Image width 240 mm
FLAIR MR.
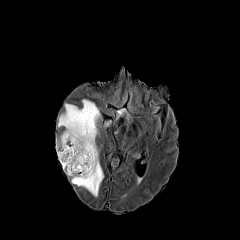
T1-weighted magnetic resonance.
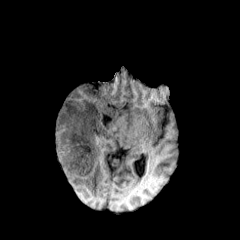
Post-contrast T1-weighted MR image.
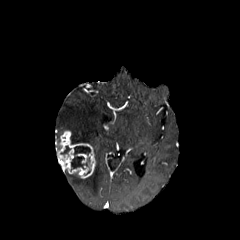
T2-weighted MRI.
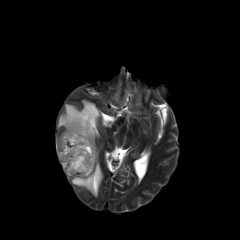
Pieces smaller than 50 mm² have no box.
The 2 largest peritumoral edema regions appear at [116, 108, 124, 118], [57, 99, 104, 196]. The enhancing tumor is at [56, 130, 95, 178]. The 2 largest necrotic tumor core regions are bounded by [74, 146, 90, 154], [71, 156, 87, 168].